Head | Slice index 50
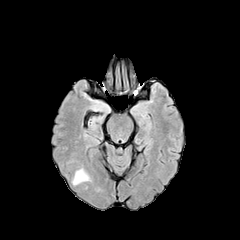
FLAIR MRI.
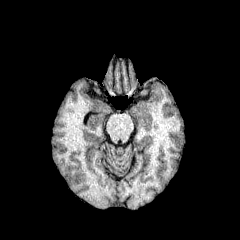
T1-weighted MR.
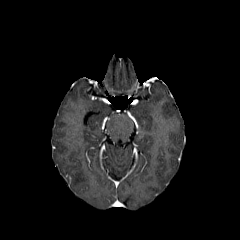
Post-contrast T1-weighted MR image of the same slice.
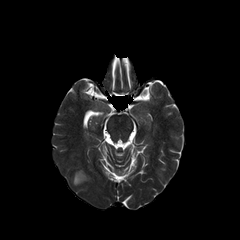
T2-weighted MR.
Segmented structures:
* peritumoral edema: bbox(73, 169, 89, 184)